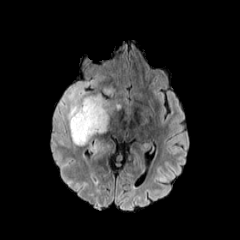
FLAIR MR.
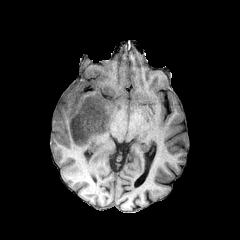
Same slice, T1-weighted MRI.
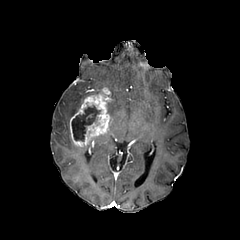
Post-contrast T1-weighted MRI.
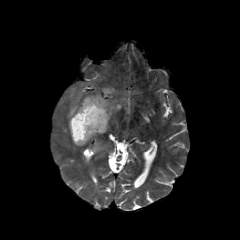
T2-weighted MRI of the same slice.
Axial view, Head
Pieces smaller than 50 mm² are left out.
necrotic_tumor_core:
  - x1=72 y1=106 x2=100 y2=141
peritumoral_edema:
  - x1=53 y1=77 x2=102 y2=138
  - x1=108 y1=101 x2=113 y2=120
  - x1=88 y1=138 x2=104 y2=151
enhancing_tumor:
  - x1=69 y1=86 x2=111 y2=146